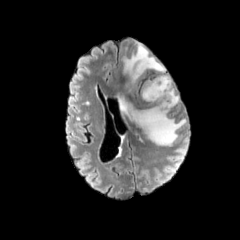
FLAIR MRI.
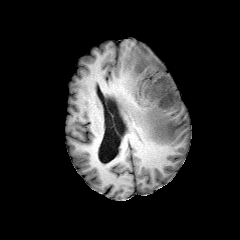
T1-weighted MRI.
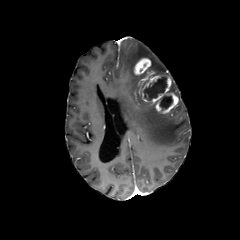
Same slice, post-contrast T1-weighted MR image.
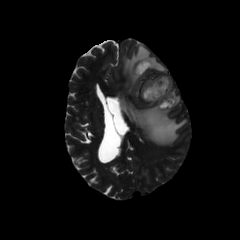
T2-weighted MR image.
Image size 240x240. Axial slice.
enhancing tumor: bounding box (133,57,178,113)
peritumoral edema: bounding box (170,80,179,109), (119,94,186,145), (123,43,165,90)
necrotic tumor core: bounding box (143,77,167,100), (159,95,172,109)